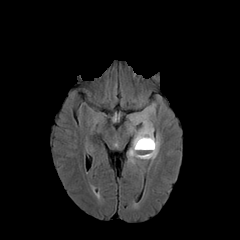
FLAIR MRI.
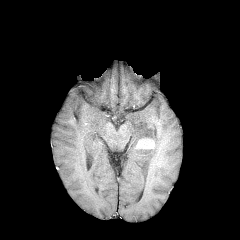
T1-weighted magnetic resonance of the same slice.
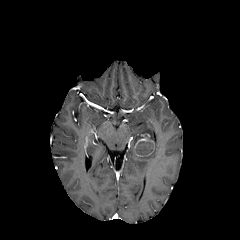
Same slice, post-contrast T1-weighted magnetic resonance.
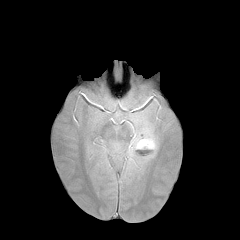
Same slice, T2-weighted MRI.
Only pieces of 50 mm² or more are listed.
{"enhancing_tumor": ["left=137, top=141, right=154, bottom=156", "left=134, top=133, right=150, bottom=150"], "peritumoral_edema": ["left=128, top=103, right=160, bottom=163"], "necrotic_tumor_core": ["left=135, top=141, right=153, bottom=154"]}